Brain, Image width 240 mm
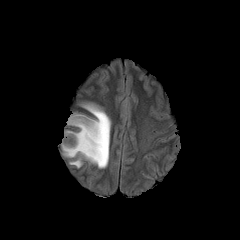
FLAIR MR image.
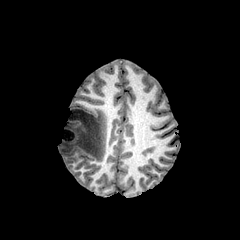
T1-weighted magnetic resonance.
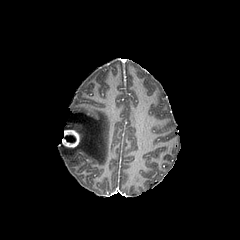
Post-contrast T1-weighted magnetic resonance.
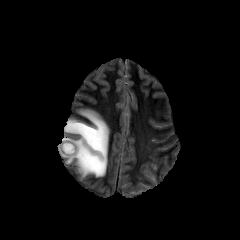
T2-weighted magnetic resonance.
Findings:
* peritumoral edema: region(61, 105, 110, 170)
* enhancing tumor: region(62, 130, 79, 147)
* necrotic tumor core: region(63, 135, 75, 143)